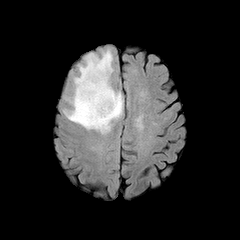
FLAIR MR.
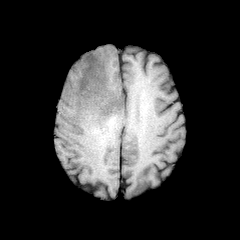
Same slice, T1-weighted MR.
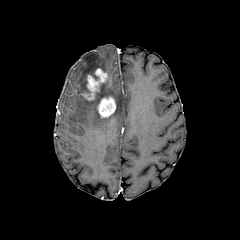
Post-contrast T1-weighted magnetic resonance.
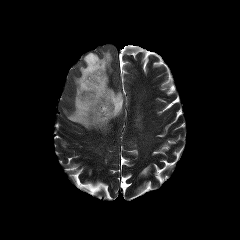
T2-weighted MRI.
Axial slice, Head
{
  "peritumoral_edema": [
    "x1=64 y1=49 x2=123 y2=132"
  ],
  "enhancing_tumor": [
    "x1=97 y1=96 x2=115 y2=117",
    "x1=81 y1=68 x2=107 y2=100"
  ]
}